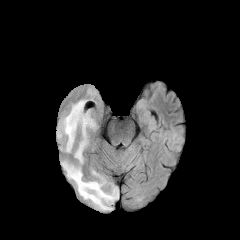
FLAIR magnetic resonance.
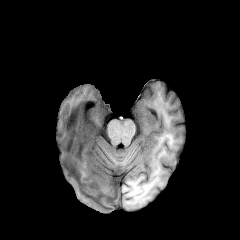
T1-weighted MR image.
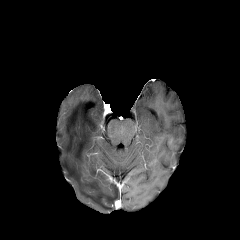
Post-contrast T1-weighted MRI of the same slice.
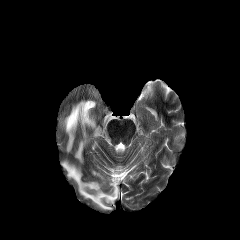
T2-weighted MR.
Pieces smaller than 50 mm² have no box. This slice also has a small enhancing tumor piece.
peritumoral edema: bounding box <box>60,100,97,163</box>, <box>61,160,118,210</box>